FLAIR MRI.
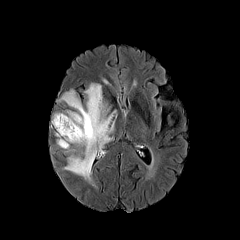
T1-weighted magnetic resonance.
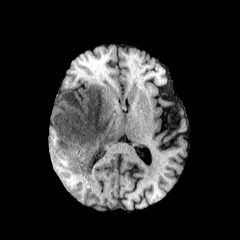
Post-contrast T1-weighted MR image.
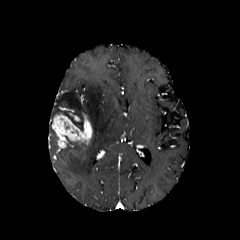
T2-weighted MR.
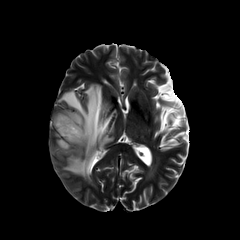
Head.
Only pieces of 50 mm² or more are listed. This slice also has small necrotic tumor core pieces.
Annotated regions:
* enhancing tumor: [67,110,80,122], [52,112,92,148]
* peritumoral edema: [56,83,116,182]